FLAIR magnetic resonance.
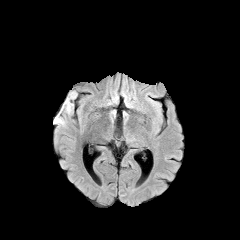
T1-weighted MRI.
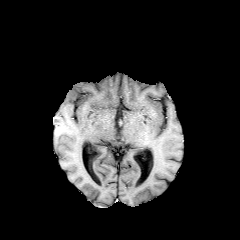
Post-contrast T1-weighted MRI.
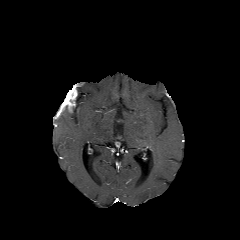
T2-weighted MR image.
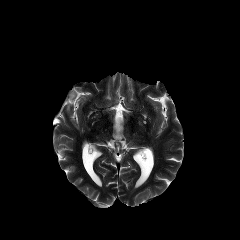
Image size 240x240. Brain.
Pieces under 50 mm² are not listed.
enhancing tumor at box(53, 87, 77, 123)
peritumoral edema at box(54, 116, 65, 125)